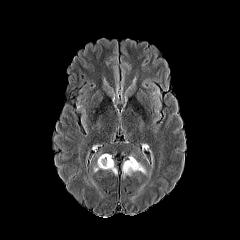
FLAIR MRI.
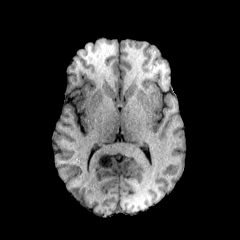
T1-weighted MRI.
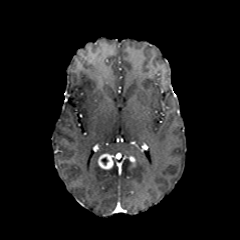
Post-contrast T1-weighted MR of the same slice.
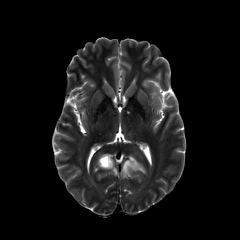
Same slice, T2-weighted magnetic resonance.
Brain.
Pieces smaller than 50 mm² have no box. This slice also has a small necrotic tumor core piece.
• enhancing tumor: <box>98,153,113,169</box>, <box>129,156,135,166</box>
• peritumoral edema: <box>122,160,146,177</box>